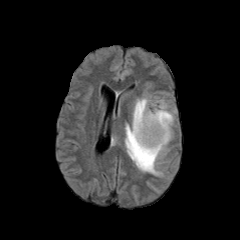
FLAIR magnetic resonance.
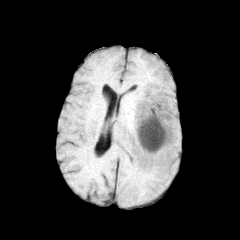
T1-weighted magnetic resonance.
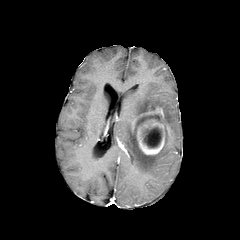
Same slice, post-contrast T1-weighted magnetic resonance.
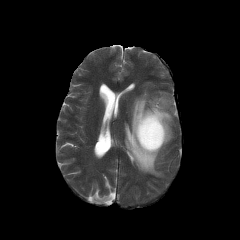
T2-weighted MR image.
Axial slice; Image size 240x240
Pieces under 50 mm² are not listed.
peritumoral edema: bounding box x1=124, y1=95, x2=176, y2=175
necrotic tumor core: bounding box x1=143, y1=127, x2=161, y2=147; x1=136, y1=115, x2=162, y2=129
enhancing tumor: bounding box x1=132, y1=107, x2=171, y2=155